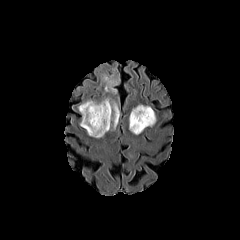
FLAIR MR image.
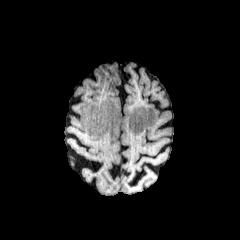
T1-weighted MR of the same slice.
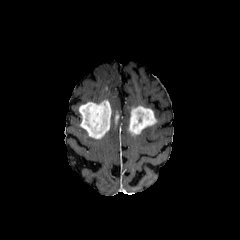
Post-contrast T1-weighted MR of the same slice.
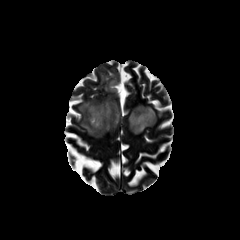
T2-weighted MR of the same slice.
Head | 240x240 px
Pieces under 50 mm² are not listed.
Findings:
- peritumoral edema: [102,97,119,117], [101,69,119,93]
- enhancing tumor: [129,106,156,134], [79,100,118,139]